FLAIR MRI.
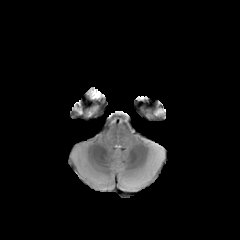
T1-weighted magnetic resonance.
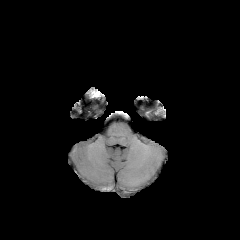
Post-contrast T1-weighted magnetic resonance.
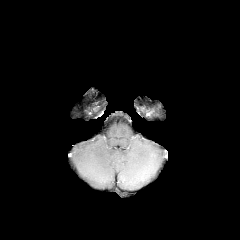
T2-weighted MR.
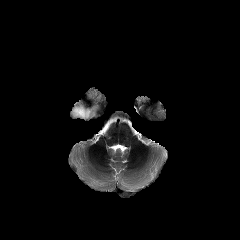
The peritumoral edema lies within 71, 90, 105, 118.